FLAIR MRI.
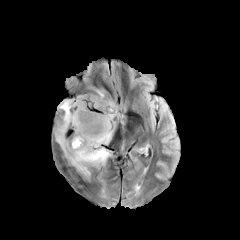
T1-weighted MR image.
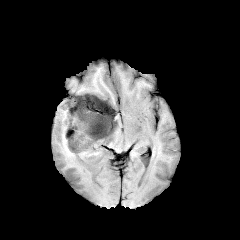
Post-contrast T1-weighted magnetic resonance.
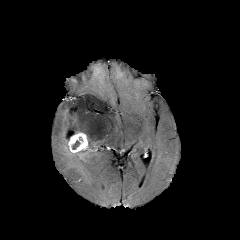
T2-weighted MRI.
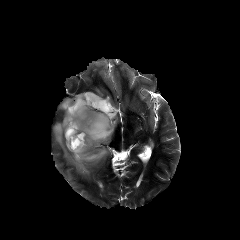
Axial view
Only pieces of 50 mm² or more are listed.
peritumoral edema: bounding box box(54, 89, 118, 177)
enhancing tumor: bounding box box(65, 130, 88, 154)
necrotic tumor core: bounding box box(66, 131, 75, 140)